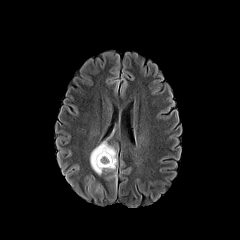
FLAIR MR.
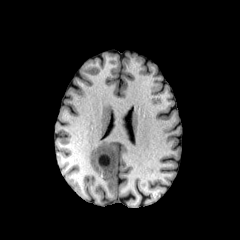
T1-weighted MRI of the same slice.
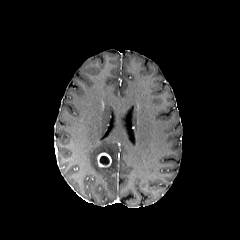
Same slice, post-contrast T1-weighted MR.
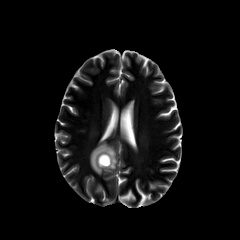
Same slice, T2-weighted magnetic resonance.
Axial view. Head. Image size 240x240.
Annotated regions:
* necrotic tumor core: x1=100, y1=156, x2=109, y2=164
* peritumoral edema: x1=90, y1=141, x2=117, y2=175
* enhancing tumor: x1=97, y1=152, x2=111, y2=167